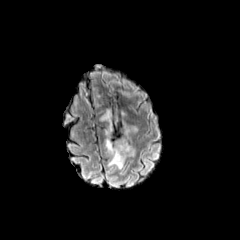
FLAIR MR image.
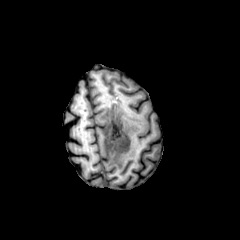
T1-weighted MR.
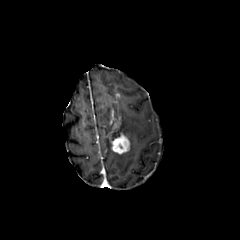
Post-contrast T1-weighted MR.
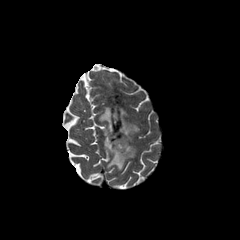
T2-weighted MR image.
Brain, 240x240
enhancing tumor = (109, 115, 129, 154)
peritumoral edema = (99, 108, 138, 169)